FLAIR MR image.
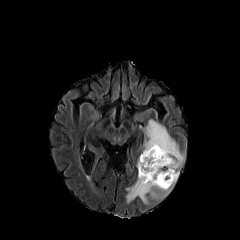
T1-weighted magnetic resonance.
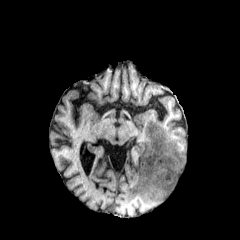
Post-contrast T1-weighted magnetic resonance.
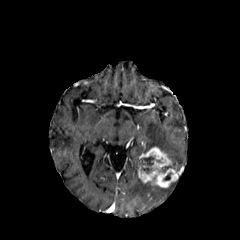
T2-weighted magnetic resonance.
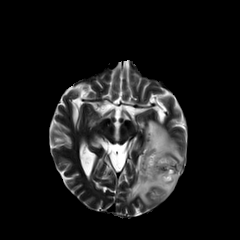
Axial view, Image size 240x240
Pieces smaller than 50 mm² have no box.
{"enhancing_tumor": ["(138,146,180,187)"], "peritumoral_edema": ["(126,177,175,204)", "(143,120,184,170)"], "necrotic_tumor_core": ["(139,156,154,173)"]}